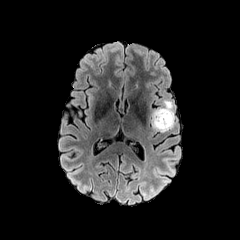
FLAIR MR image.
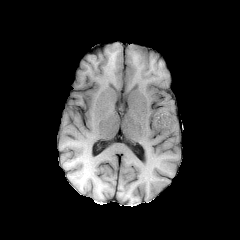
T1-weighted MR image.
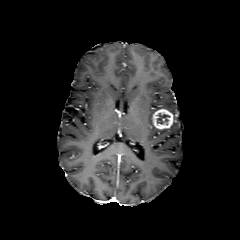
Post-contrast T1-weighted MRI of the same slice.
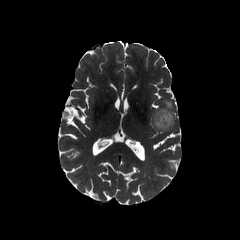
T2-weighted magnetic resonance.
Brain
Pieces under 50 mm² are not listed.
necrotic tumor core: 157, 113, 169, 123
enhancing tumor: 152, 109, 174, 129
peritumoral edema: 152, 100, 174, 119; 151, 117, 174, 131